FLAIR magnetic resonance.
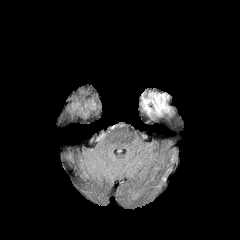
T1-weighted magnetic resonance.
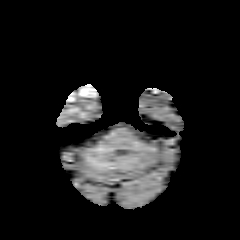
Post-contrast T1-weighted MR image.
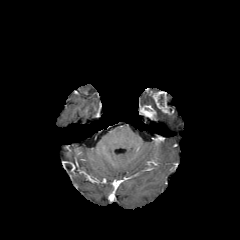
T2-weighted MR.
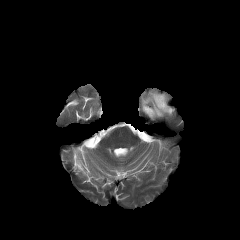
240x240 | Brain | Axial slice
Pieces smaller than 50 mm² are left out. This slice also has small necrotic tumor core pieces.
peritumoral_edema:
  - [141, 94, 164, 116]
enhancing_tumor:
  - [149, 92, 173, 114]
  - [141, 105, 156, 119]